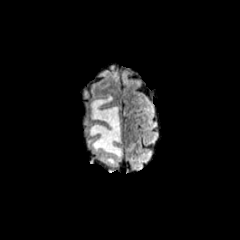
FLAIR MRI.
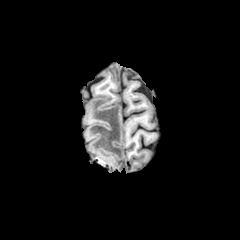
T1-weighted MR image.
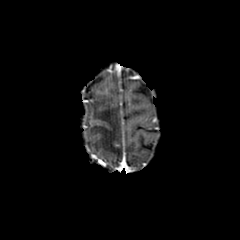
Post-contrast T1-weighted MRI.
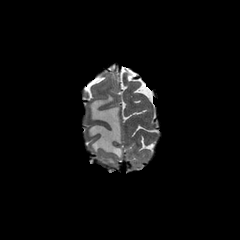
T2-weighted MR of the same slice.
240x240 px.
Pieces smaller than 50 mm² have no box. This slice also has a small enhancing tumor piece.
peritumoral edema: box=[88, 95, 122, 165]